FLAIR MR image.
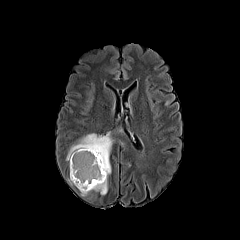
T1-weighted MR.
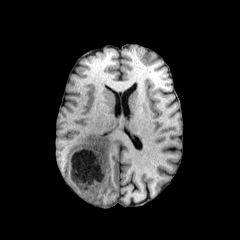
Post-contrast T1-weighted MR image.
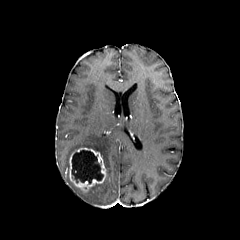
T2-weighted MRI.
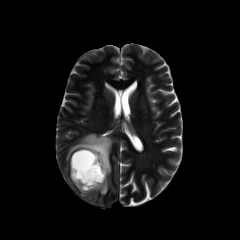
Brain.
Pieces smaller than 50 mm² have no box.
Findings:
* enhancing tumor: bbox(69, 147, 106, 191)
* necrotic tumor core: bbox(72, 150, 103, 183)
* peritumoral edema: bbox(66, 133, 117, 196)